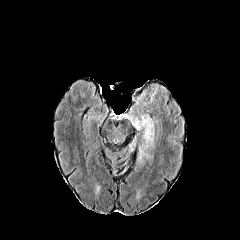
FLAIR magnetic resonance.
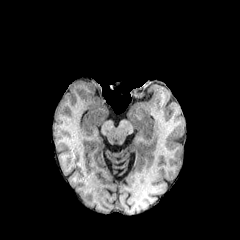
Same slice, T1-weighted MR.
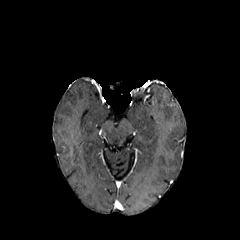
Post-contrast T1-weighted MR.
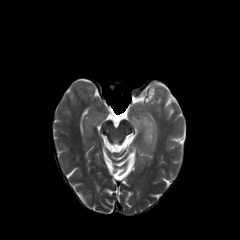
T2-weighted MR image.
Image size 240x240; Head
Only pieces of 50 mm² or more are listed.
The largest peritumoral edema region lies within left=128, top=114, right=154, bottom=146.